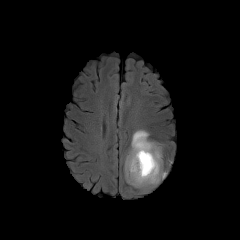
FLAIR MR.
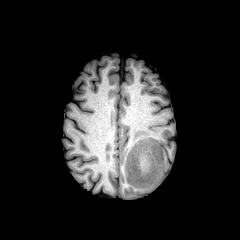
T1-weighted magnetic resonance of the same slice.
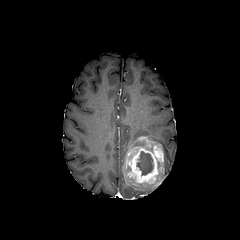
Post-contrast T1-weighted MR image.
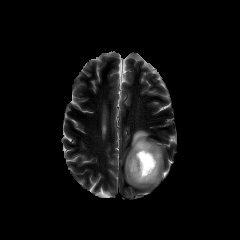
T2-weighted magnetic resonance.
Axial slice.
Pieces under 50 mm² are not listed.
enhancing tumor: x1=124 y1=136 x2=163 y2=186 | necrotic tumor core: x1=137 y1=151 x2=153 y2=175 | peritumoral edema: x1=131 y1=184 x2=156 y2=189, x1=130 y1=129 x2=149 y2=148, x1=158 y1=171 x2=166 y2=183